FLAIR MR image.
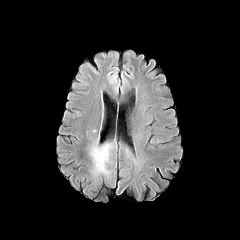
T1-weighted magnetic resonance.
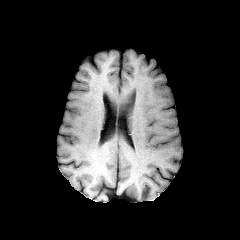
Post-contrast T1-weighted MRI.
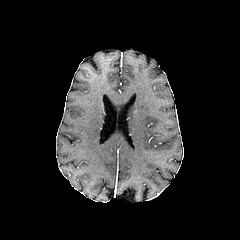
T2-weighted MR.
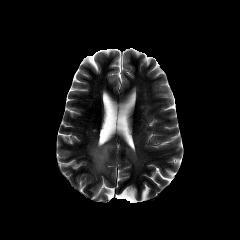
Axial plane. 240x240 px. Brain.
peritumoral edema: region(92, 146, 108, 172)